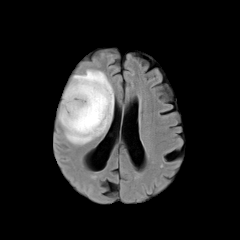
FLAIR MRI.
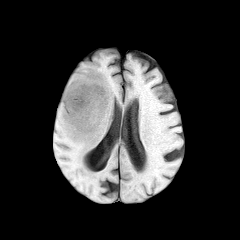
Same slice, T1-weighted magnetic resonance.
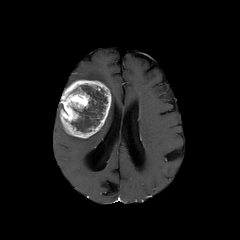
Post-contrast T1-weighted MRI.
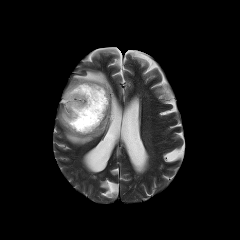
T2-weighted magnetic resonance.
Axial plane
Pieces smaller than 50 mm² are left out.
The necrotic tumor core lies within (71,85,107,131). The largest peritumoral edema region appears at (64,69,114,144). The largest enhancing tumor region is at (60,80,111,138).